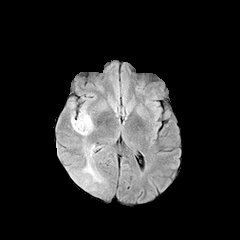
FLAIR MRI.
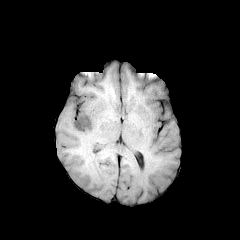
T1-weighted MR.
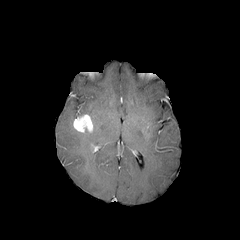
Post-contrast T1-weighted MRI.
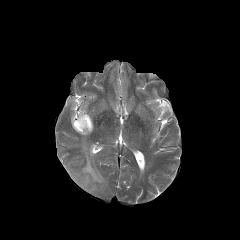
T2-weighted magnetic resonance.
Axial view | Brain
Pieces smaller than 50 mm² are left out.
The enhancing tumor lies within 73 114 93 132. The 3 largest peritumoral edema regions appear at 71 112 90 136, 78 105 91 118, 75 143 105 191.